Slice 56/155; Brain
FLAIR magnetic resonance.
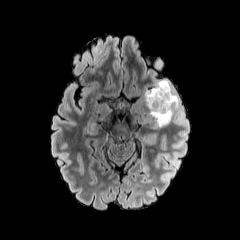
T1-weighted magnetic resonance.
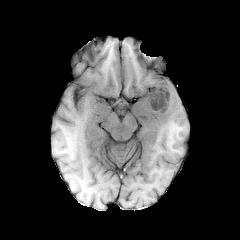
Post-contrast T1-weighted MR.
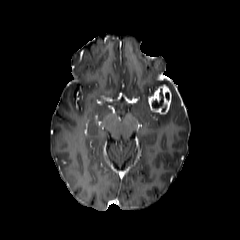
T2-weighted MRI.
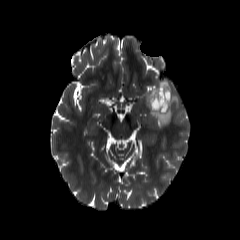
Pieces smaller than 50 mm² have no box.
enhancing tumor — <bbox>148, 84, 171, 114</bbox>
necrotic tumor core — <bbox>152, 88, 163, 108</bbox>
peritumoral edema — <bbox>145, 79, 179, 127</bbox>